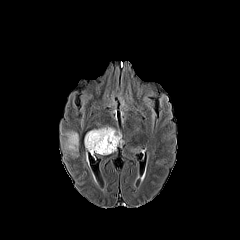
FLAIR MR image.
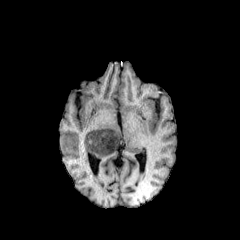
T1-weighted MRI.
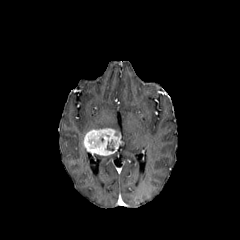
Post-contrast T1-weighted magnetic resonance.
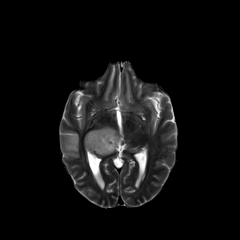
T2-weighted MRI of the same slice.
Brain
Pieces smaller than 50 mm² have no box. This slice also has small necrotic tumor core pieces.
enhancing tumor — <box>84,128,121,155</box>
peritumoral edema — <box>61,131,78,156</box>